FLAIR MR.
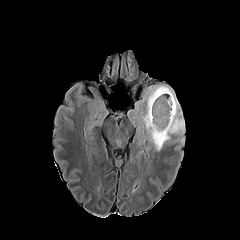
T1-weighted MR.
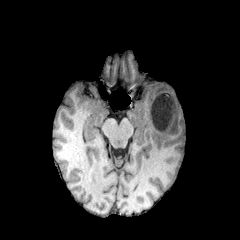
Post-contrast T1-weighted MR image.
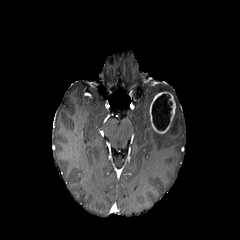
T2-weighted MR.
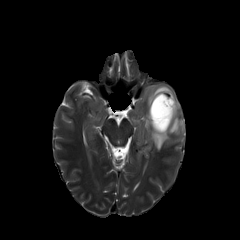
Axial slice
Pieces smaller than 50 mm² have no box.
enhancing_tumor:
  - region(149, 91, 175, 133)
peritumoral_edema:
  - region(142, 85, 185, 152)
necrotic_tumor_core:
  - region(152, 94, 172, 130)